FLAIR MR image.
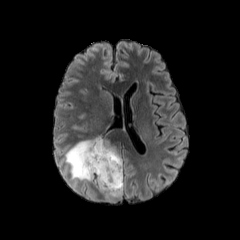
T1-weighted magnetic resonance.
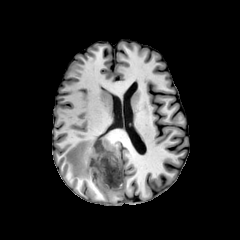
Post-contrast T1-weighted MR image.
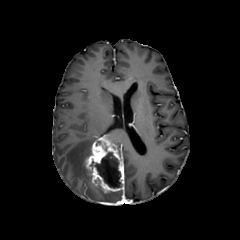
T2-weighted magnetic resonance.
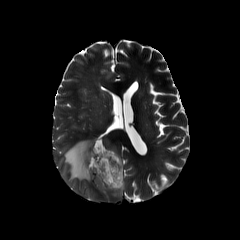
Brain
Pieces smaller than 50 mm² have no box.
peritumoral edema — bbox=[98, 187, 122, 198]; bbox=[65, 137, 97, 181]
enhancing tumor — bbox=[85, 136, 124, 192]
necrotic tumor core — bbox=[95, 152, 121, 188]